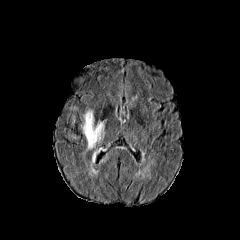
FLAIR MR.
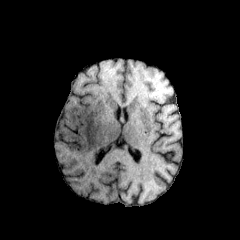
T1-weighted MR.
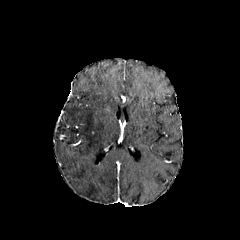
Post-contrast T1-weighted MR.
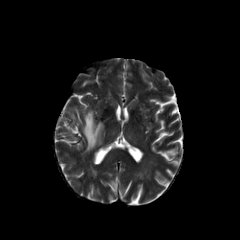
Same slice, T2-weighted magnetic resonance.
Brain | Axial slice
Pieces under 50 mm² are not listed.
The 3 largest peritumoral edema regions are located at 98,152,108,163; 88,147,102,177; 80,109,106,150.